Slice 73 of 155. Brain. Axial plane.
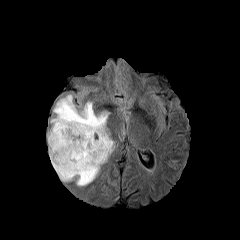
FLAIR magnetic resonance.
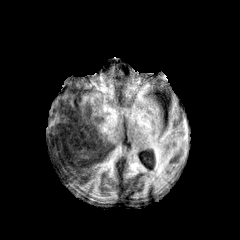
T1-weighted magnetic resonance of the same slice.
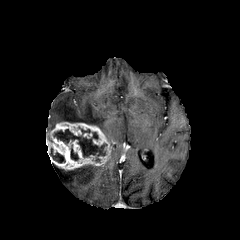
Post-contrast T1-weighted MRI.
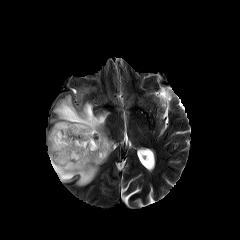
T2-weighted MRI.
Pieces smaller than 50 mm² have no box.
• enhancing tumor: 46 122 112 170
• necrotic tumor core: 50 148 65 162, 71 148 78 160, 54 129 106 161
• peritumoral edema: 50 95 113 147, 52 163 100 186